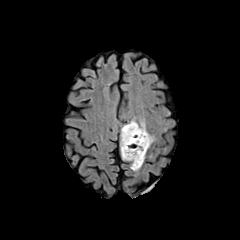
FLAIR MR image.
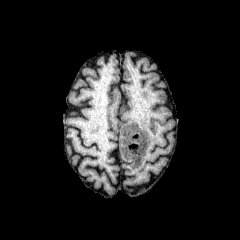
T1-weighted MRI.
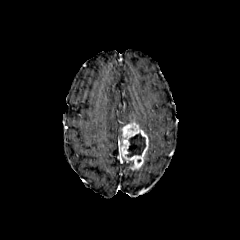
Same slice, post-contrast T1-weighted MRI.
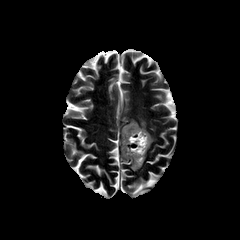
Same slice, T2-weighted magnetic resonance.
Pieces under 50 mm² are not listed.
necrotic tumor core: x1=127, y1=133, x2=145, y2=156
enhancing tumor: x1=120, y1=121, x2=148, y2=170
peritumoral edema: x1=139, y1=119, x2=155, y2=147